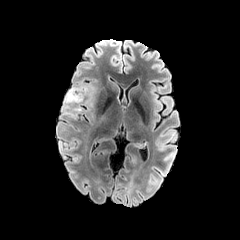
FLAIR MR.
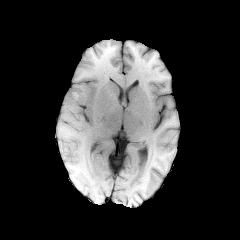
T1-weighted MRI of the same slice.
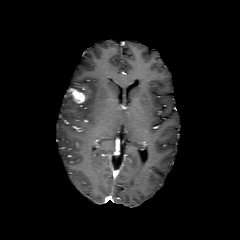
Post-contrast T1-weighted magnetic resonance of the same slice.
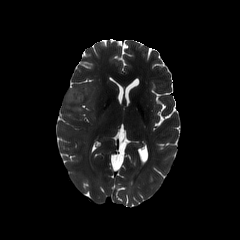
T2-weighted MR image.
Head | Axial plane | 240x240 px
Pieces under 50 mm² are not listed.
enhancing tumor = [x1=70, y1=89, x2=85, y2=103]
peritumoral edema = [x1=64, y1=90, x2=75, y2=107]